Image size 240x240 | Axial view | Slice 93/155 | Brain
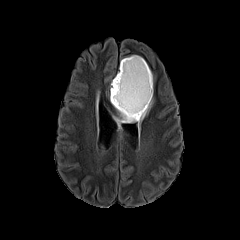
FLAIR MRI.
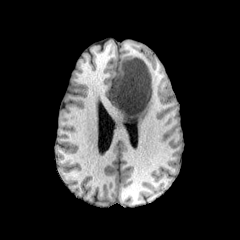
T1-weighted magnetic resonance.
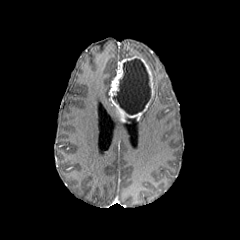
Post-contrast T1-weighted MR image of the same slice.
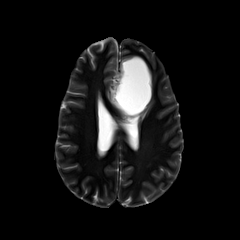
T2-weighted MRI.
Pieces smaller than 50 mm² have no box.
enhancing tumor = 109 56 153 121
necrotic tumor core = 113 58 150 114
peritumoral edema = 131 96 153 129, 113 114 125 128